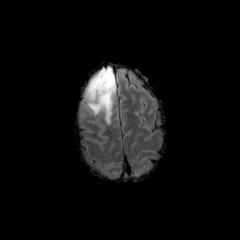
FLAIR magnetic resonance.
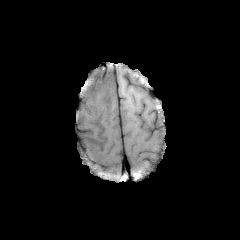
T1-weighted MR image.
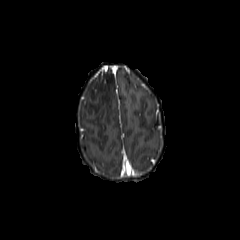
Post-contrast T1-weighted MR.
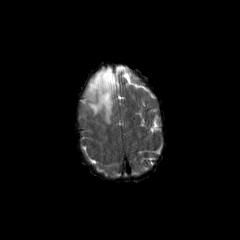
Same slice, T2-weighted MR.
Axial plane | Brain
<segmentation>
  <peritumoral_edema><bbox>84, 67, 115, 124</bbox></peritumoral_edema>
</segmentation>